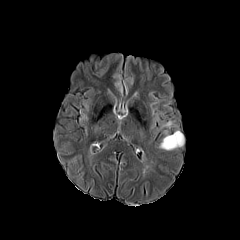
FLAIR magnetic resonance.
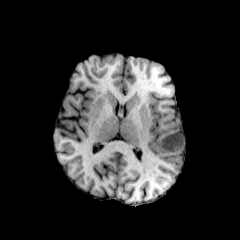
Same slice, T1-weighted MR.
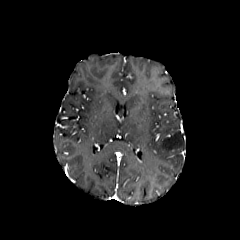
Same slice, post-contrast T1-weighted MR.
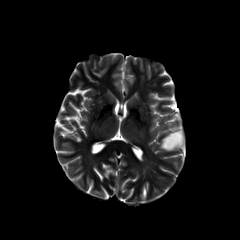
T2-weighted magnetic resonance of the same slice.
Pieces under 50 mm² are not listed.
peritumoral edema at region(159, 131, 184, 150)